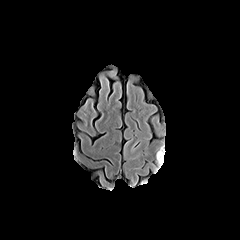
FLAIR magnetic resonance.
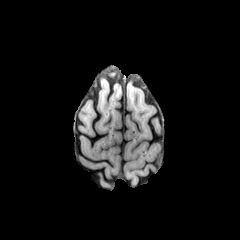
T1-weighted MR.
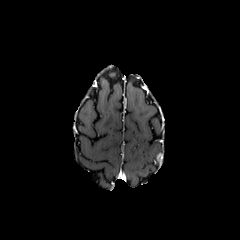
Post-contrast T1-weighted magnetic resonance.
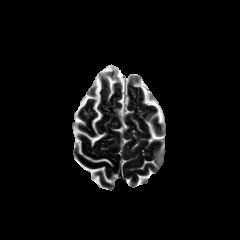
T2-weighted MRI of the same slice.
Image size 240x240. Head. Axial view.
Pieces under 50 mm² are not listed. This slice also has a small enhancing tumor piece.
Segmented structures:
- peritumoral edema: l=156, t=145, r=164, b=166